FLAIR MR image.
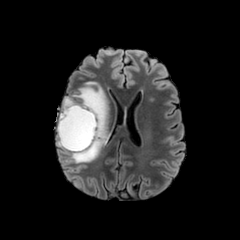
T1-weighted MR.
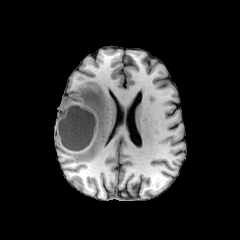
Post-contrast T1-weighted MR.
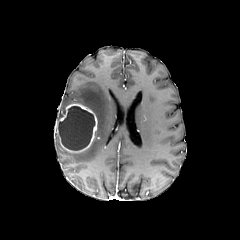
T2-weighted MR.
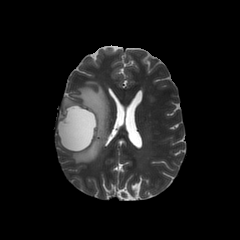
Head.
The necrotic tumor core lies within bbox=[58, 106, 94, 150]. 2 peritumoral edema regions are located at bbox=[58, 96, 77, 120]; bbox=[56, 82, 108, 163]. The enhancing tumor is bounded by bbox=[56, 103, 97, 152].